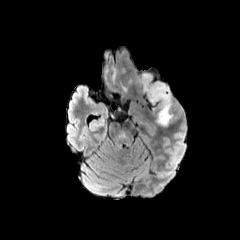
FLAIR MR.
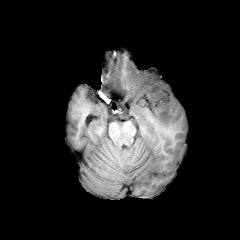
Same slice, T1-weighted MR.
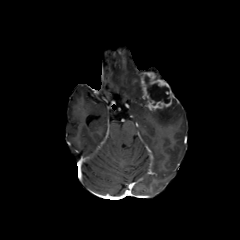
Post-contrast T1-weighted MR of the same slice.
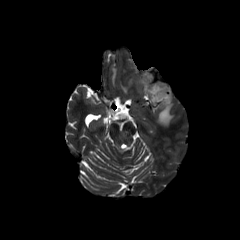
T2-weighted MR.
Image size 240x240
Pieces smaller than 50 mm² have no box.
enhancing tumor — (x1=134, y1=71, x2=173, y2=110)
necrotic tumor core — (x1=145, y1=76, x2=169, y2=103)
peritumoral edema — (x1=129, y1=76, x2=141, y2=92), (x1=153, y1=99, x2=173, y2=127)